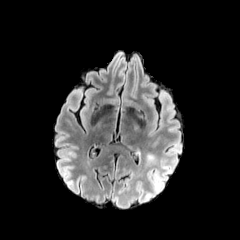
FLAIR magnetic resonance.
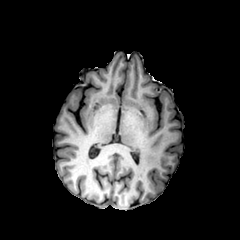
T1-weighted MR image of the same slice.
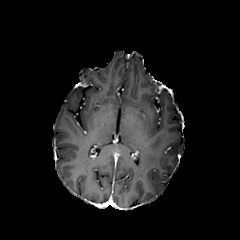
Post-contrast T1-weighted MRI.
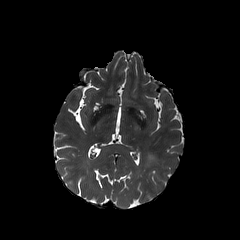
Same slice, T2-weighted MR image.
240x240 px
peritumoral edema: (x1=146, y1=153, x2=155, y2=161)